FLAIR magnetic resonance.
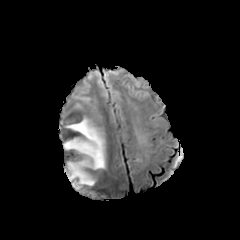
T1-weighted MR image.
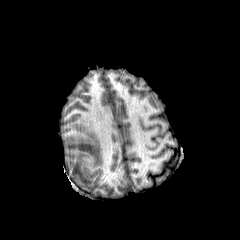
Post-contrast T1-weighted magnetic resonance.
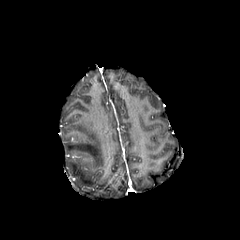
T2-weighted MR.
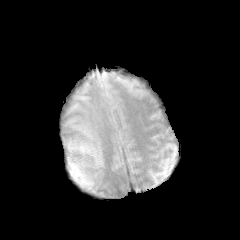
The peritumoral edema is at x1=64 y1=117 x2=105 y2=186.